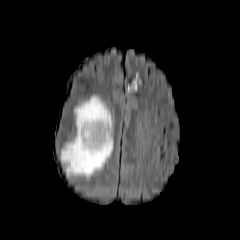
FLAIR MR image.
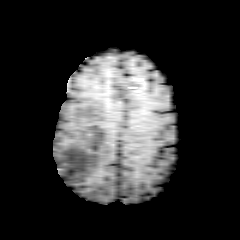
T1-weighted MR of the same slice.
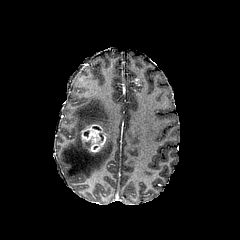
Post-contrast T1-weighted MR.
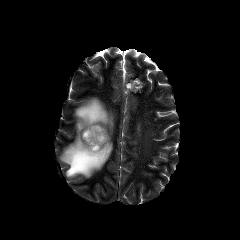
Same slice, T2-weighted MR image.
240x240 px. Axial view.
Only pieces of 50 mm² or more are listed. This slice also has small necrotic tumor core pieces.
The enhancing tumor lies within 81:124:106:152. The peritumoral edema is bounded by 60:96:112:177.